FLAIR MRI.
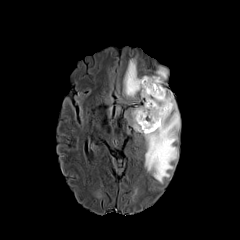
T1-weighted MR image.
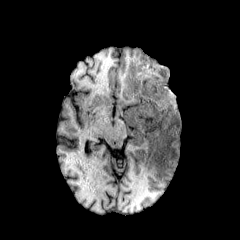
Post-contrast T1-weighted magnetic resonance.
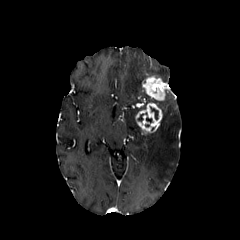
T2-weighted magnetic resonance.
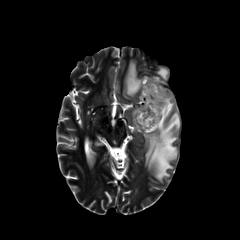
Brain.
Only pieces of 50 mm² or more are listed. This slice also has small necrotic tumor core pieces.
peritumoral edema at box=[156, 67, 168, 80]; box=[131, 106, 143, 132]; box=[144, 89, 180, 182]; box=[124, 59, 150, 97]
enhancing tumor at box=[142, 76, 167, 100]; box=[135, 102, 162, 134]